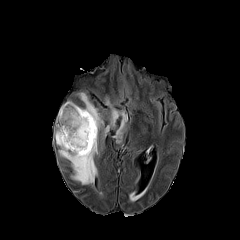
FLAIR magnetic resonance.
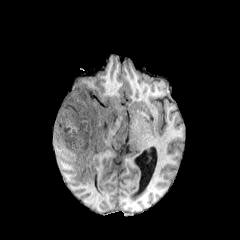
T1-weighted magnetic resonance.
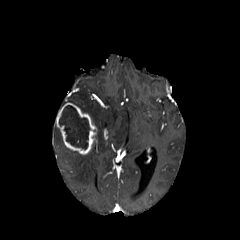
Post-contrast T1-weighted MRI.
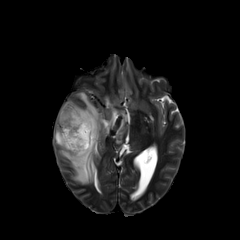
Same slice, T2-weighted MR image.
Axial plane, Image size 240x240
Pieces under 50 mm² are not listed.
enhancing tumor: 56, 102, 97, 154 | peritumoral edema: 128, 189, 146, 202; 111, 108, 127, 142; 54, 127, 97, 184; 78, 92, 103, 129 | necrotic tumor core: 59, 105, 90, 149